FLAIR MRI.
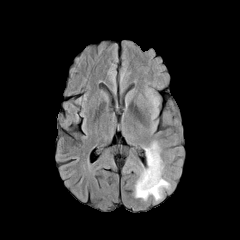
T1-weighted MR image.
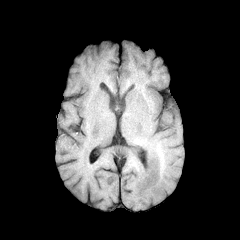
Post-contrast T1-weighted MR.
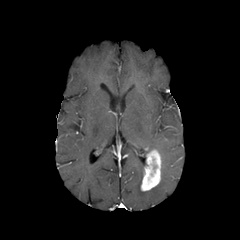
T2-weighted MR.
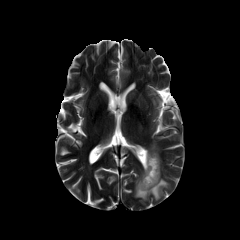
The enhancing tumor lies within [141,149,161,191]. 2 peritumoral edema regions appear at [144,141,160,154], [134,160,170,200].